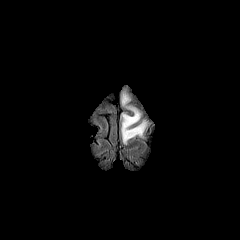
FLAIR MR.
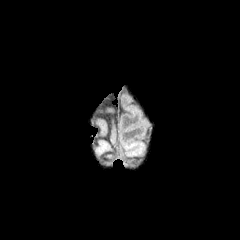
T1-weighted MR.
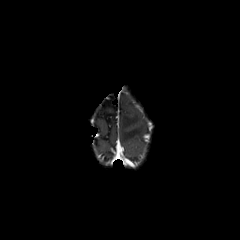
Same slice, post-contrast T1-weighted MR image.
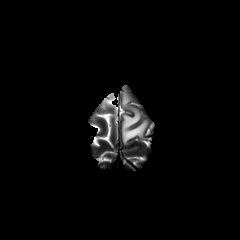
Same slice, T2-weighted magnetic resonance.
Axial view | Brain
The peritumoral edema is bounded by [120, 90, 150, 144].